Axial plane
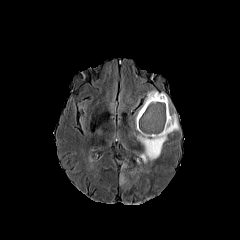
FLAIR MR image.
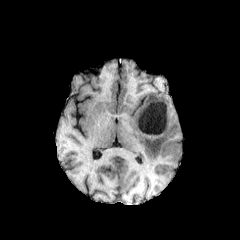
T1-weighted MRI of the same slice.
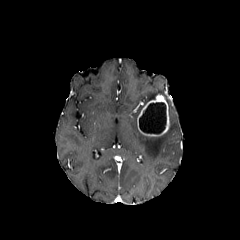
Post-contrast T1-weighted MR image of the same slice.
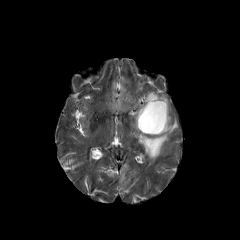
T2-weighted MR of the same slice.
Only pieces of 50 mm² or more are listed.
The 3 largest peritumoral edema regions are located at x1=120 y1=173 x2=126 y2=184, x1=133 y1=113 x2=179 y2=162, x1=145 y1=91 x2=158 y2=104. The enhancing tumor is bounded by x1=137 y1=94 x2=170 y2=136. The necrotic tumor core lies within x1=139 y1=102 x2=166 y2=133.